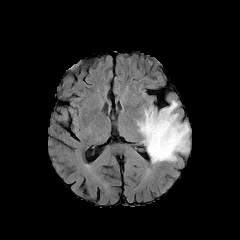
FLAIR MR.
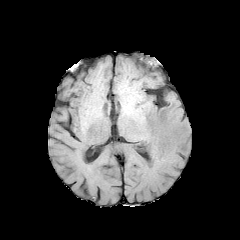
T1-weighted MRI.
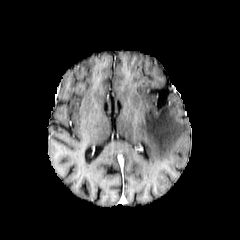
Post-contrast T1-weighted MR.
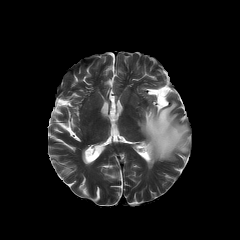
T2-weighted MRI.
Head, Axial slice
The peritumoral edema appears at left=137, top=100, right=189, bottom=163.